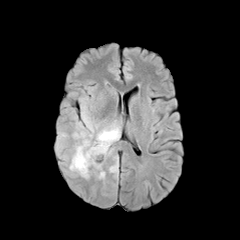
FLAIR MR.
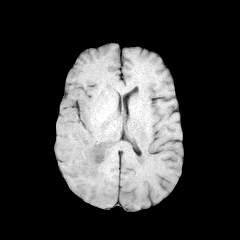
T1-weighted MR.
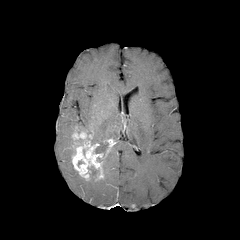
Post-contrast T1-weighted MR of the same slice.
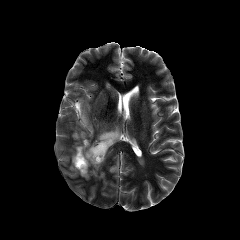
T2-weighted MR image.
Head
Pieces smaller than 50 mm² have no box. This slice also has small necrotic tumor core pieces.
{
  "peritumoral_edema": [
    "(left=109, top=161, right=118, bottom=172)",
    "(left=69, top=150, right=78, bottom=174)",
    "(left=92, top=123, right=120, bottom=155)",
    "(left=74, top=105, right=98, bottom=138)"
  ],
  "enhancing_tumor": [
    "(left=72, top=131, right=115, bottom=179)"
  ]
}